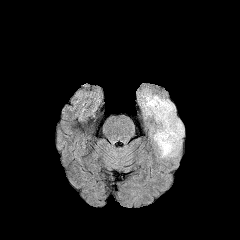
FLAIR MR image.
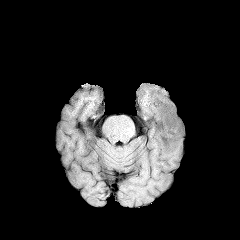
T1-weighted MR.
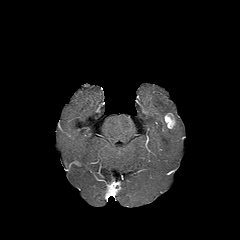
Post-contrast T1-weighted magnetic resonance.
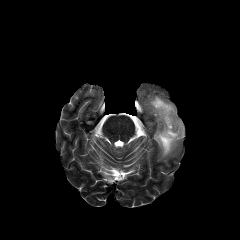
T2-weighted MRI.
Axial plane
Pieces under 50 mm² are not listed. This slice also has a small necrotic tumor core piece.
peritumoral edema: x1=142 y1=93 x2=184 y2=158 | enhancing tumor: x1=164 y1=113 x2=175 y2=128